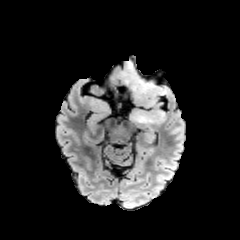
FLAIR magnetic resonance.
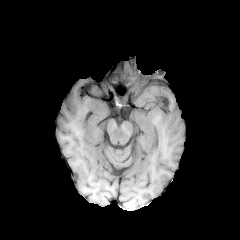
T1-weighted MR image.
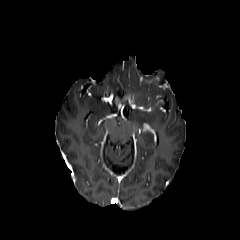
Post-contrast T1-weighted MRI.
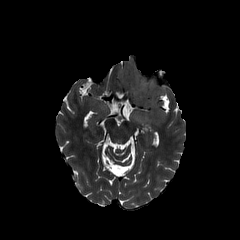
T2-weighted magnetic resonance.
Head
{"peritumoral_edema": ["[x1=110, y1=62, x2=165, y2=125]"]}